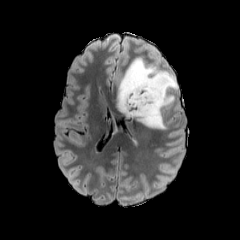
FLAIR MR.
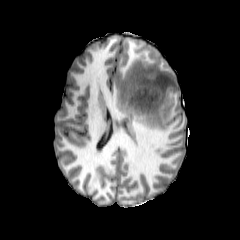
T1-weighted magnetic resonance.
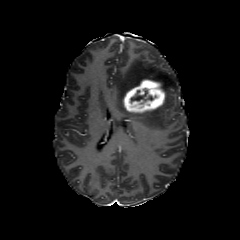
Post-contrast T1-weighted MR.
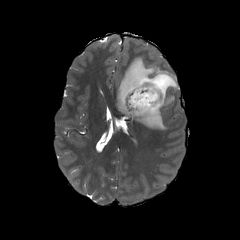
Same slice, T2-weighted MRI.
Axial view
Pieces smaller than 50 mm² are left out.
The largest necrotic tumor core region is located at bbox=[131, 90, 147, 101]. The enhancing tumor is at bbox=[123, 78, 165, 113]. The largest peritumoral edema region is at bbox=[115, 56, 177, 130].